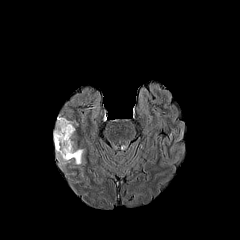
FLAIR MR.
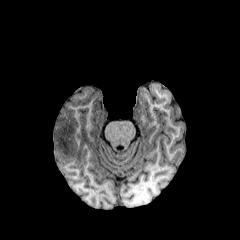
T1-weighted MR.
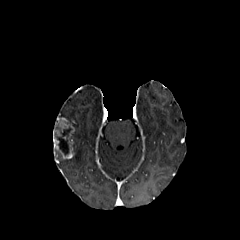
Post-contrast T1-weighted MR image.
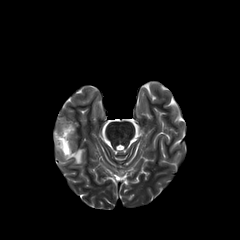
T2-weighted magnetic resonance.
Axial plane
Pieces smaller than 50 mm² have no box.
{
  "peritumoral_edema": [
    "56 142 84 166"
  ],
  "necrotic_tumor_core": [
    "55 126 71 155"
  ],
  "enhancing_tumor": [
    "53 117 74 159"
  ]
}